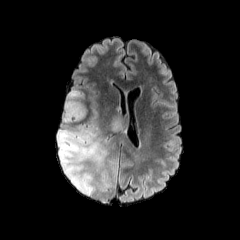
FLAIR magnetic resonance.
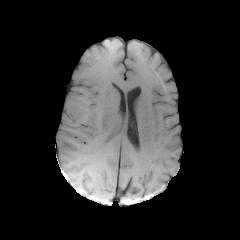
T1-weighted MR.
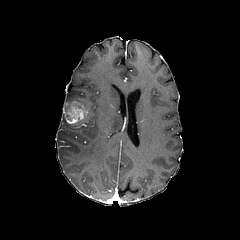
Same slice, post-contrast T1-weighted MR image.
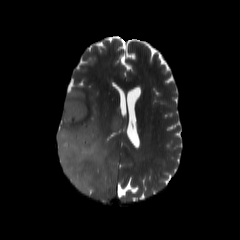
T2-weighted MRI of the same slice.
Image size 240x240
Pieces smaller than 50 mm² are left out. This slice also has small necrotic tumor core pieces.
<segmentation>
  <enhancing_tumor>x1=65, y1=101, x2=87, y2=123</enhancing_tumor>
  <peritumoral_edema>x1=66, y1=90, x2=86, y2=108; x1=111, y1=116, x2=122, y2=132; x1=57, y1=103, x2=116, y2=196</peritumoral_edema>
</segmentation>